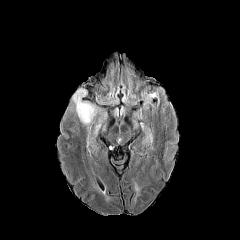
FLAIR magnetic resonance.
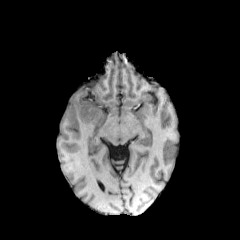
T1-weighted MRI.
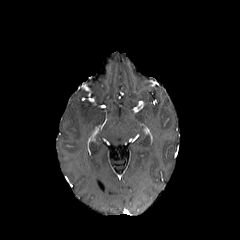
Post-contrast T1-weighted MR image.
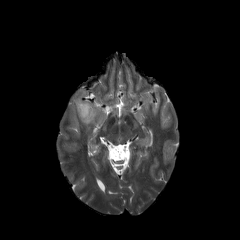
T2-weighted MRI.
Head
Segmented structures:
- peritumoral edema: <box>72,85,107,132</box>